Axial slice, Image width 240 mm, 1.00 mm slice spacing
FLAIR MR.
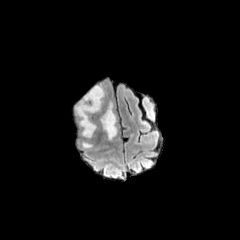
T1-weighted MR.
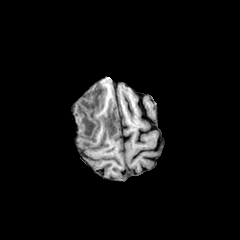
Post-contrast T1-weighted MR image.
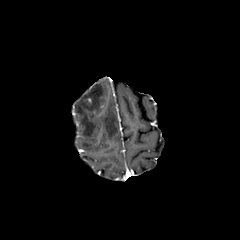
T2-weighted MRI.
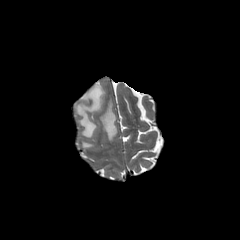
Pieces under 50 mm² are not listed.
peritumoral_edema:
  - (left=100, top=103, right=117, bottom=140)
  - (left=76, top=86, right=104, bottom=137)